FLAIR magnetic resonance.
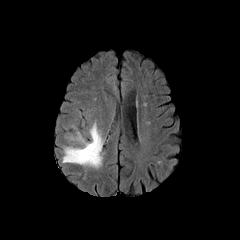
T1-weighted MR.
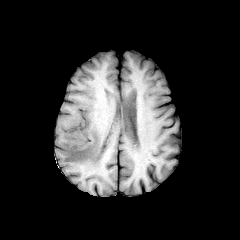
Post-contrast T1-weighted magnetic resonance.
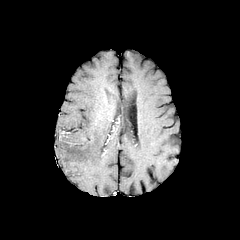
T2-weighted MR image.
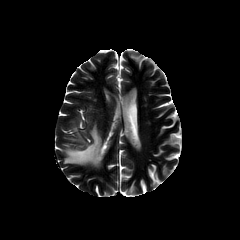
Image size 240x240
Annotated regions:
* peritumoral edema: <box>63,123,103,168</box>